FLAIR MRI.
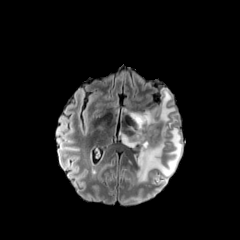
T1-weighted MR.
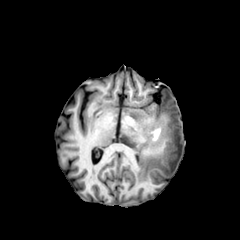
Post-contrast T1-weighted MR.
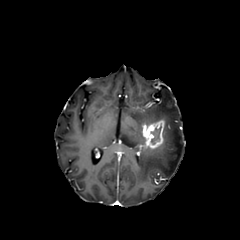
T2-weighted MR.
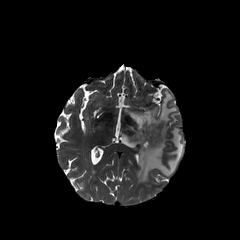
Axial plane, Image size 240x240
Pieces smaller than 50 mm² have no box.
{"necrotic_tumor_core": ["rect(151, 126, 161, 143)"], "peritumoral_edema": ["rect(121, 89, 183, 182)"], "enhancing_tumor": ["rect(139, 119, 165, 149)"]}